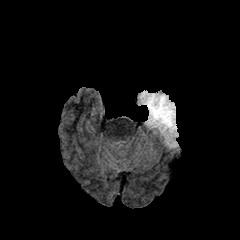
FLAIR MRI.
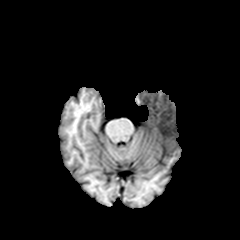
Same slice, T1-weighted magnetic resonance.
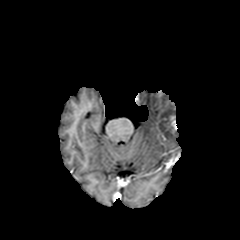
Post-contrast T1-weighted MRI of the same slice.
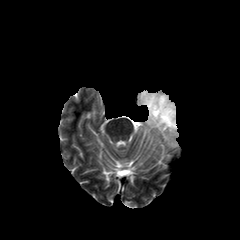
Same slice, T2-weighted magnetic resonance.
Axial slice
Findings:
• enhancing tumor: rect(170, 116, 176, 130)
• peritumoral edema: rect(138, 90, 178, 148)